Axial slice
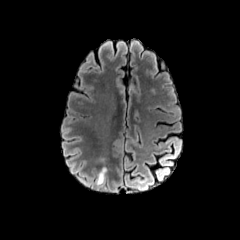
FLAIR magnetic resonance.
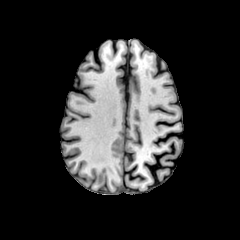
Same slice, T1-weighted MR.
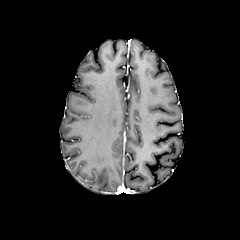
Same slice, post-contrast T1-weighted magnetic resonance.
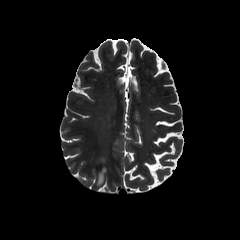
T2-weighted MR.
peritumoral edema — box(97, 168, 106, 185)